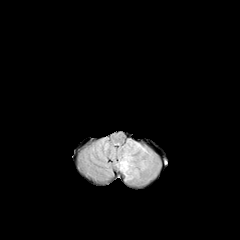
FLAIR MR.
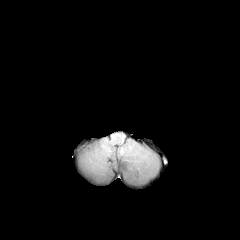
T1-weighted MR.
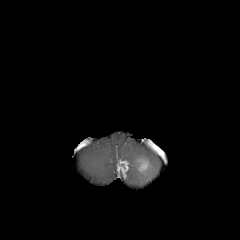
Post-contrast T1-weighted MRI of the same slice.
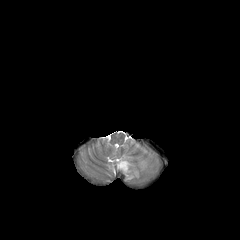
T2-weighted magnetic resonance.
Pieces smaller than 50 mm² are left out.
peritumoral edema: l=118, t=140, r=158, b=181 | enhancing tumor: l=137, t=158, r=150, b=173; l=117, t=160, r=129, b=175